Slice index 51
FLAIR MR.
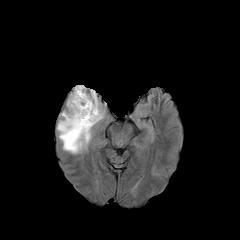
T1-weighted magnetic resonance.
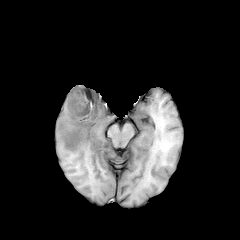
Post-contrast T1-weighted magnetic resonance.
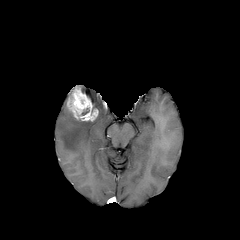
T2-weighted MR.
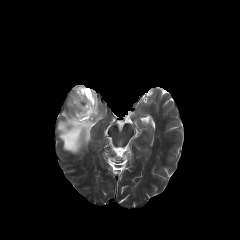
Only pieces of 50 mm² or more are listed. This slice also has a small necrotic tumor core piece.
The enhancing tumor is at (67, 86, 98, 121). The largest peritumoral edema region appears at (57, 85, 104, 153).